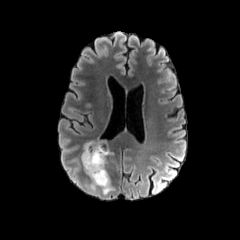
FLAIR magnetic resonance.
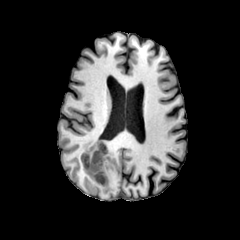
T1-weighted magnetic resonance.
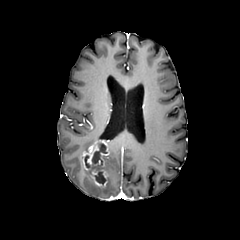
Same slice, post-contrast T1-weighted MR image.
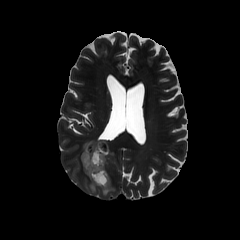
T2-weighted MRI of the same slice.
Image size 240x240. Axial view.
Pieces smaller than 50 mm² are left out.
The 3 largest peritumoral edema regions appear at 84 141 94 151, 89 183 97 194, 100 176 113 194. The largest enhancing tumor region is located at 81 140 109 187. The necrotic tumor core is located at 84 143 107 184.